240x240 px. Axial plane. Image width 240 mm, 1.00 mm slice spacing.
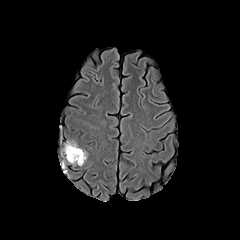
FLAIR magnetic resonance.
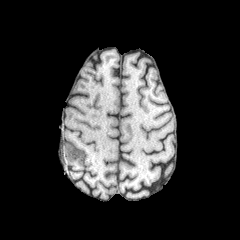
T1-weighted MR.
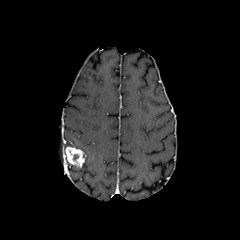
Post-contrast T1-weighted magnetic resonance.
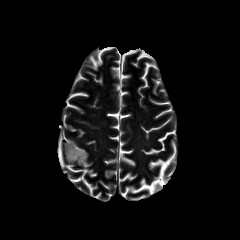
T2-weighted MR image of the same slice.
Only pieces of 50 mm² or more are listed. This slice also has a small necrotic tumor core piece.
enhancing tumor — bbox(64, 146, 84, 166)
peritumoral edema — bbox(64, 141, 86, 161)